Slice 84 of 155; 240x240; Head
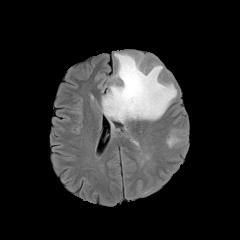
FLAIR magnetic resonance.
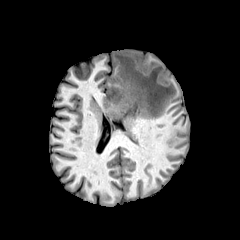
T1-weighted MR.
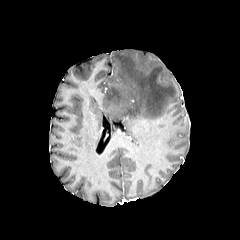
Post-contrast T1-weighted MRI of the same slice.
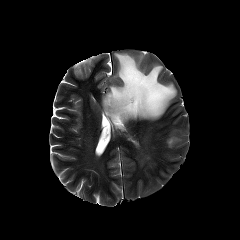
T2-weighted magnetic resonance.
• peritumoral edema: 102:53:176:122, 166:129:188:149